FLAIR magnetic resonance.
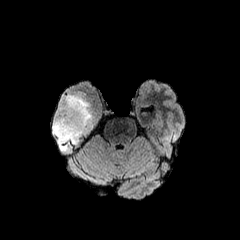
T1-weighted magnetic resonance.
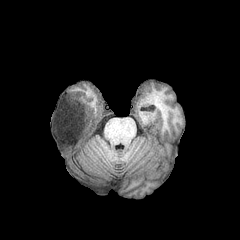
Post-contrast T1-weighted MRI.
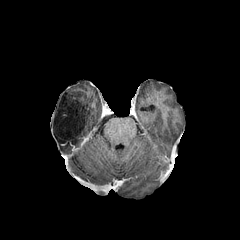
T2-weighted MRI.
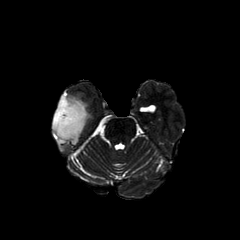
Axial plane; Head
<segmentation>
  <peritumoral_edema>region(52, 94, 91, 151)</peritumoral_edema>
</segmentation>